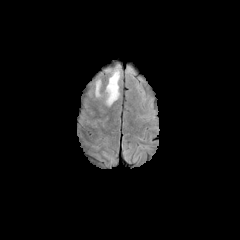
FLAIR MRI.
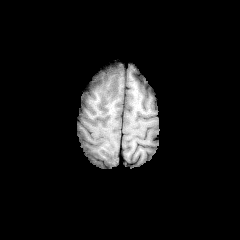
T1-weighted MRI.
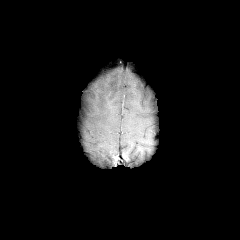
Post-contrast T1-weighted MRI.
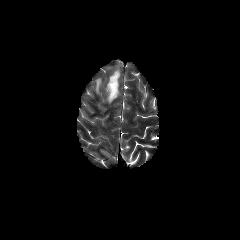
T2-weighted MR of the same slice.
peritumoral edema = l=95, t=80, r=100, b=96; l=105, t=70, r=119, b=106